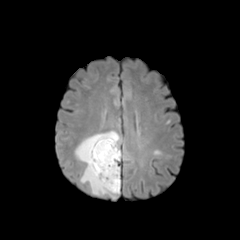
FLAIR MRI.
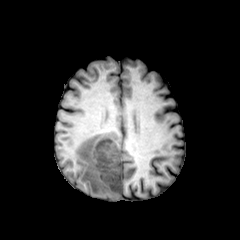
Same slice, T1-weighted MRI.
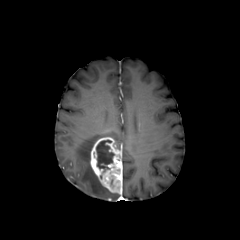
Post-contrast T1-weighted MR image.
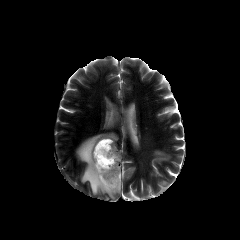
T2-weighted MR image of the same slice.
240x240 px.
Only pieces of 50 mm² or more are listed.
necrotic tumor core: (96,140,114,168)
peritumoral edema: (75,131,119,198)
enhancing tumor: (90,137,122,193)